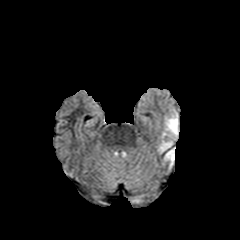
FLAIR MR.
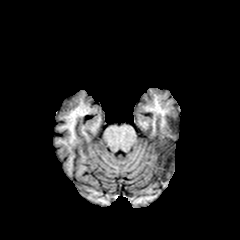
T1-weighted magnetic resonance of the same slice.
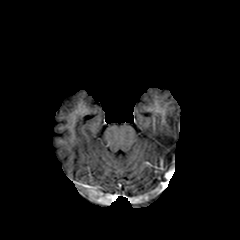
Same slice, post-contrast T1-weighted magnetic resonance.
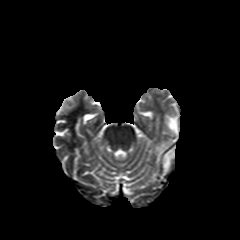
T2-weighted MRI of the same slice.
Axial view
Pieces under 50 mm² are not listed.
peritumoral edema: left=164, top=148, right=175, bottom=165; left=158, top=141, right=172, bottom=153; left=165, top=114, right=178, bottom=137